Head, Axial slice
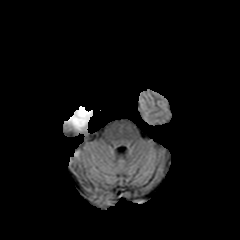
FLAIR magnetic resonance.
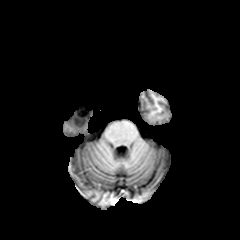
T1-weighted MR image of the same slice.
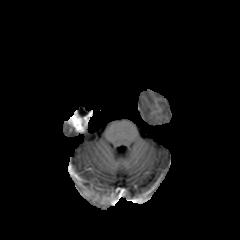
Same slice, post-contrast T1-weighted MRI.
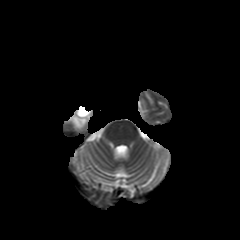
T2-weighted MR of the same slice.
{
  "enhancing_tumor": [
    "box(67, 110, 92, 132)"
  ],
  "necrotic_tumor_core": [
    "box(78, 107, 88, 116)"
  ]
}